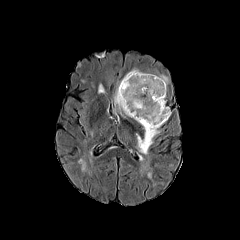
FLAIR magnetic resonance.
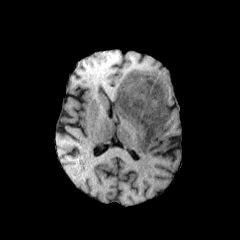
Same slice, T1-weighted MR image.
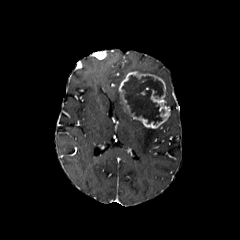
Post-contrast T1-weighted magnetic resonance.
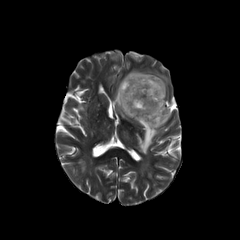
T2-weighted MR image of the same slice.
Head. Image size 240x240.
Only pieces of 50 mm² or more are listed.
Segmented structures:
* necrotic tumor core: region(122, 75, 163, 124)
* peritumoral edema: region(136, 127, 159, 154); region(114, 83, 128, 116); region(157, 74, 168, 86)
* enhancing tumor: region(118, 71, 170, 128)